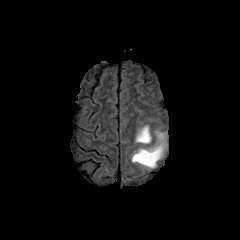
FLAIR magnetic resonance.
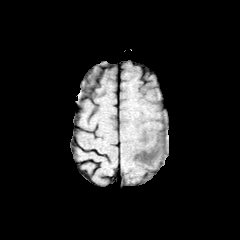
Same slice, T1-weighted MR image.
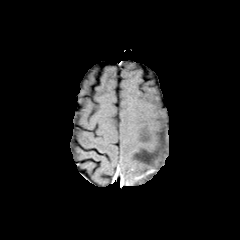
Same slice, post-contrast T1-weighted MRI.
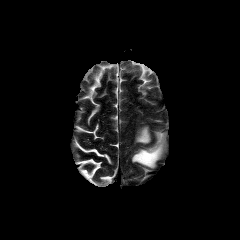
T2-weighted MR image of the same slice.
Head | Axial plane | 240x240
Findings:
* peritumoral edema: box=[135, 125, 151, 144]; box=[131, 131, 167, 168]